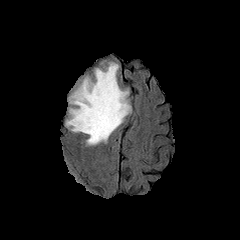
FLAIR MR.
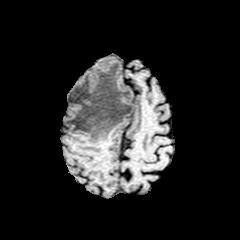
T1-weighted MRI.
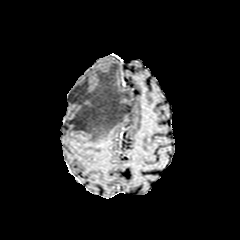
Post-contrast T1-weighted magnetic resonance.
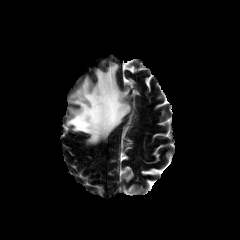
T2-weighted MR of the same slice.
peritumoral edema: (x1=66, y1=62, x2=131, y2=144)